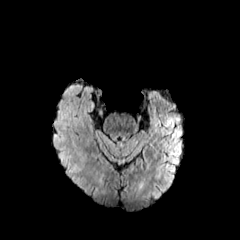
FLAIR MR.
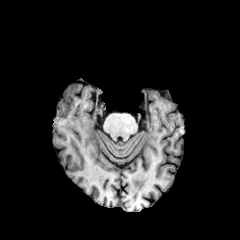
T1-weighted MR of the same slice.
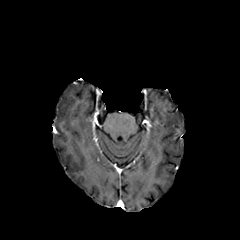
Post-contrast T1-weighted MR of the same slice.
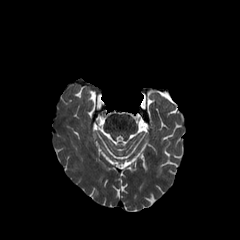
T2-weighted MRI.
240x240 | Brain
The peritumoral edema appears at rect(54, 140, 82, 187).